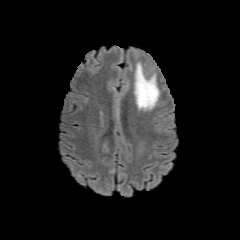
FLAIR MRI.
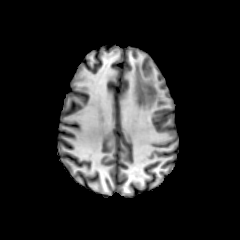
T1-weighted MR.
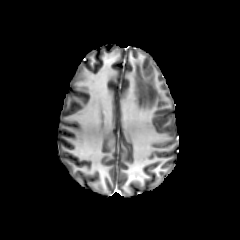
Post-contrast T1-weighted MRI.
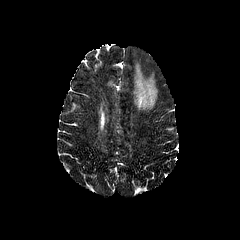
T2-weighted MRI.
peritumoral_edema:
  - x1=134 y1=63 x2=158 y2=109